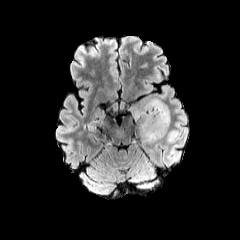
FLAIR magnetic resonance.
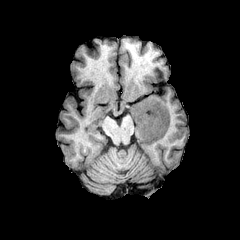
T1-weighted MR.
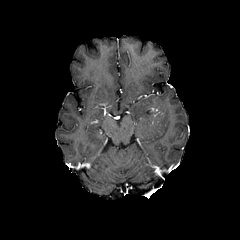
Same slice, post-contrast T1-weighted MR.
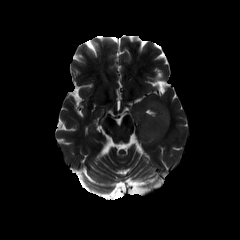
T2-weighted magnetic resonance of the same slice.
Axial plane
enhancing tumor: bounding box rect(150, 106, 161, 119)
peritumoral edema: bounding box rect(132, 97, 169, 141)